FLAIR magnetic resonance.
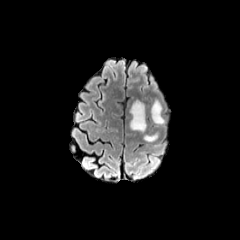
T1-weighted MR image.
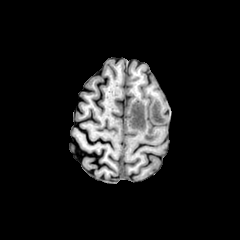
Post-contrast T1-weighted MR.
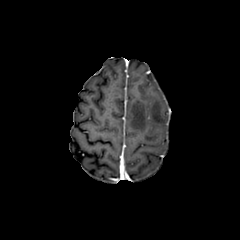
T2-weighted magnetic resonance.
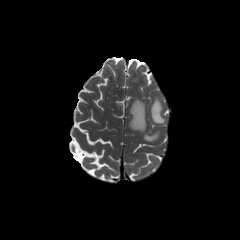
{"peritumoral_edema": ["144 133 157 141", "129 100 146 132", "151 99 165 124"]}